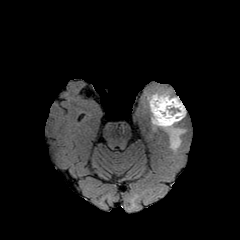
FLAIR magnetic resonance.
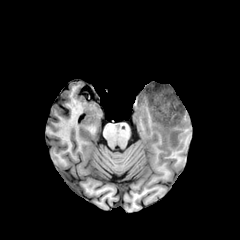
Same slice, T1-weighted MRI.
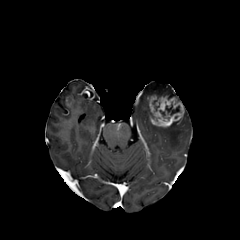
Post-contrast T1-weighted MR image of the same slice.
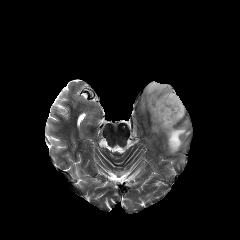
T2-weighted MRI.
Head.
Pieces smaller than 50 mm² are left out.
{"peritumoral_edema": ["left=163, top=122, right=185, bottom=151", "left=147, top=85, right=180, bottom=100"], "necrotic_tumor_core": ["left=165, top=104, right=179, bottom=115"], "enhancing_tumor": ["left=147, top=95, right=184, bottom=127"]}